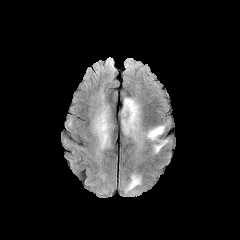
FLAIR MR.
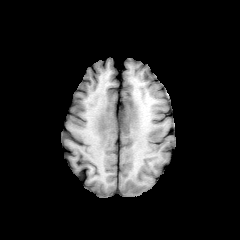
T1-weighted magnetic resonance.
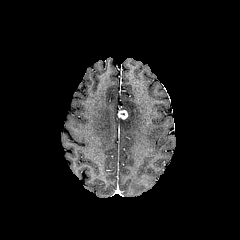
Post-contrast T1-weighted MRI.
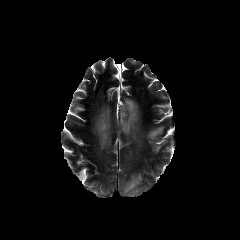
T2-weighted MR image.
240x240. Axial plane. Head.
The enhancing tumor lies within 119,110,127,119. 5 peritumoral edema regions are located at 125,175,140,193; 94,108,110,149; 121,98,139,139; 147,126,164,140; 154,140,167,152.